Image width 240 mm; Brain
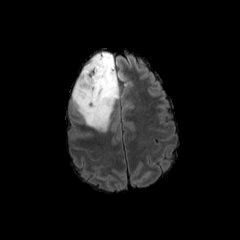
FLAIR magnetic resonance.
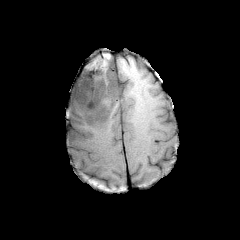
T1-weighted magnetic resonance.
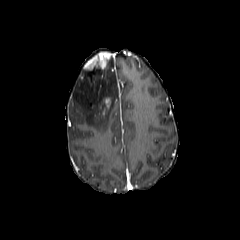
Post-contrast T1-weighted MR image.
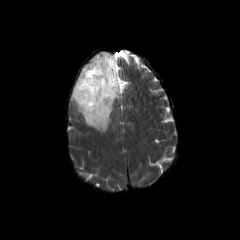
T2-weighted MR.
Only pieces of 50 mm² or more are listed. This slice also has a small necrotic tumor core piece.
peritumoral edema — 72,55,123,132
enhancing tumor — 84,52,111,70; 99,97,111,116